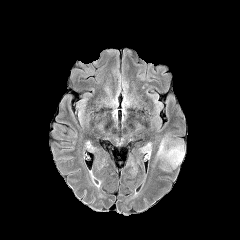
FLAIR magnetic resonance.
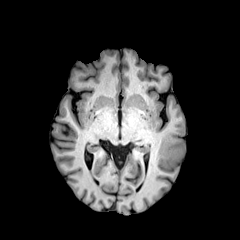
Same slice, T1-weighted MR.
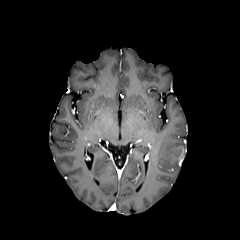
Post-contrast T1-weighted MRI.
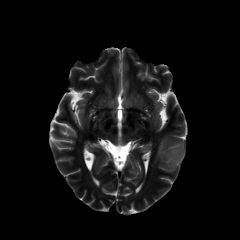
T2-weighted MRI of the same slice.
240x240 px.
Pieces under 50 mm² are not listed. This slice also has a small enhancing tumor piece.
peritumoral edema: bounding box rect(157, 139, 184, 166)